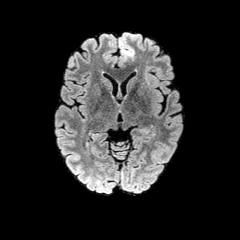
FLAIR MR.
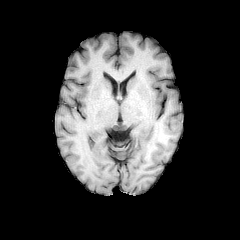
T1-weighted MRI.
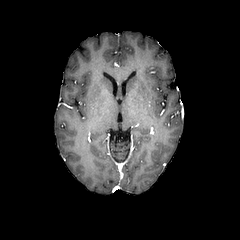
Post-contrast T1-weighted magnetic resonance.
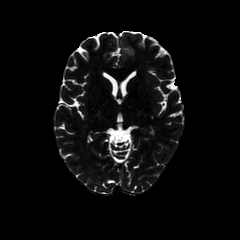
T2-weighted MR image.
Head
peritumoral edema at bbox(119, 33, 134, 60)